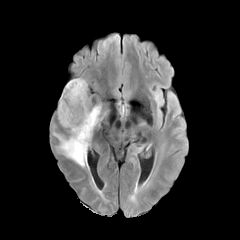
FLAIR MR image.
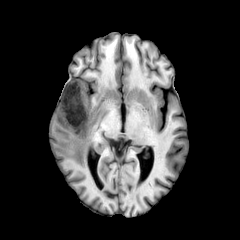
Same slice, T1-weighted MR image.
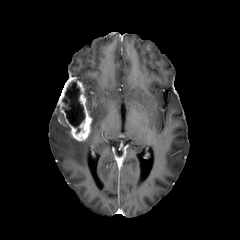
Post-contrast T1-weighted MR of the same slice.
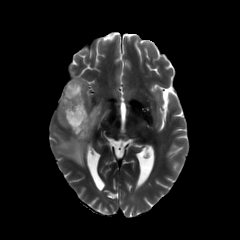
T2-weighted MRI of the same slice.
Brain; Axial view
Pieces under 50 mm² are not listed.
peritumoral edema: box(53, 105, 103, 166) | enhancing tumor: box(57, 77, 91, 140) | necrotic tumor core: box(62, 81, 84, 133)